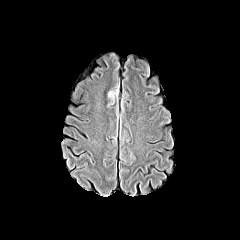
FLAIR MR image.
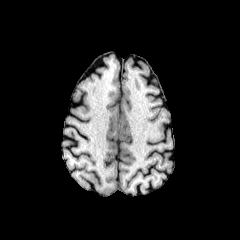
T1-weighted magnetic resonance of the same slice.
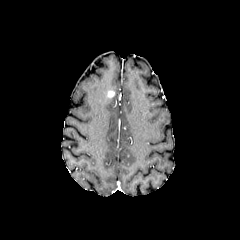
Same slice, post-contrast T1-weighted magnetic resonance.
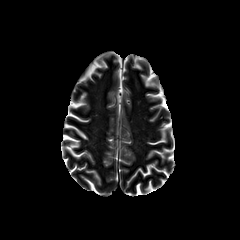
T2-weighted magnetic resonance.
Axial plane | 240x240 px
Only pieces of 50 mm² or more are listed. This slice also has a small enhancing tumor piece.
<segmentation>
  <peritumoral_edema>bbox=[107, 96, 114, 107]; bbox=[109, 83, 118, 95]</peritumoral_edema>
</segmentation>